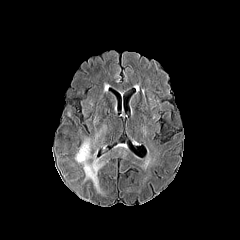
FLAIR MR image.
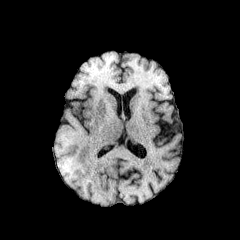
T1-weighted MR image.
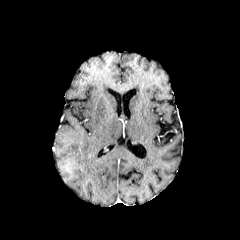
Post-contrast T1-weighted MR of the same slice.
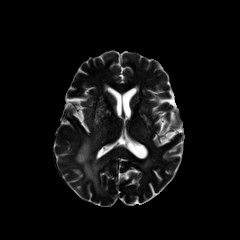
T2-weighted MR.
Axial plane; 240x240
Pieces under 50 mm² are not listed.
Findings:
• peritumoral edema: box=[75, 139, 103, 192]